Axial slice | Brain
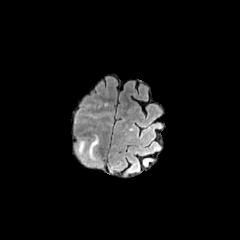
FLAIR MR.
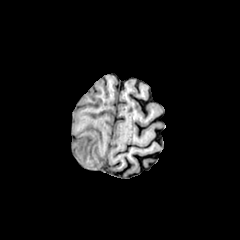
T1-weighted MR.
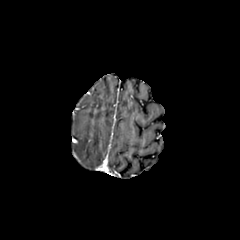
Post-contrast T1-weighted MR.
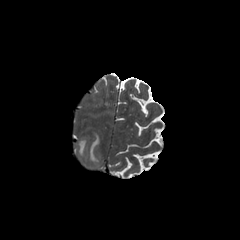
T2-weighted MR image.
Findings:
• peritumoral edema: <bbox>89, 136, 98, 160</bbox>, <bbox>78, 140, 85, 155</bbox>